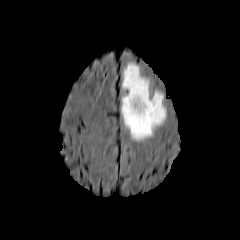
FLAIR MR.
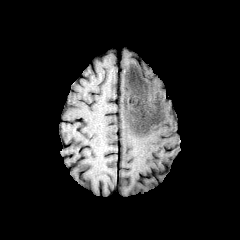
T1-weighted magnetic resonance.
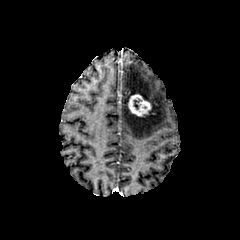
Post-contrast T1-weighted magnetic resonance of the same slice.
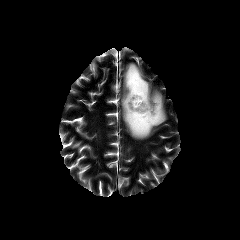
T2-weighted MRI.
Axial slice
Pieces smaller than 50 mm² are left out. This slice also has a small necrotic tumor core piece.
Findings:
- peritumoral edema: l=121, t=63, r=166, b=140
- enhancing tumor: l=128, t=94, r=151, b=116